Axial view
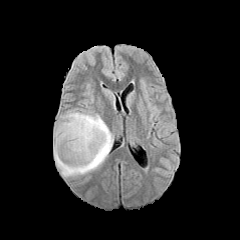
FLAIR MR image.
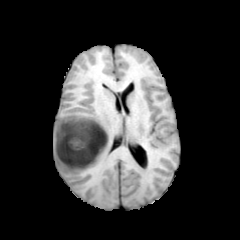
Same slice, T1-weighted MR image.
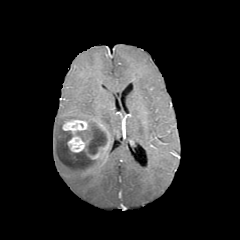
Post-contrast T1-weighted MRI.
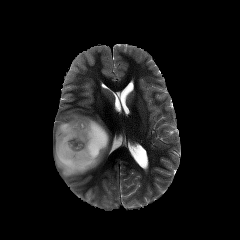
T2-weighted MR image.
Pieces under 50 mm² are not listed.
• necrotic tumor core: rect(76, 121, 108, 155)
• enhancing tumor: rect(87, 141, 108, 159); rect(62, 119, 108, 152)
• peritumoral edema: rect(53, 109, 113, 177)